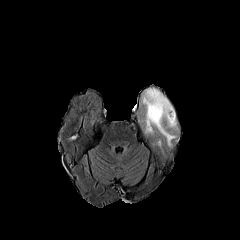
FLAIR MR image.
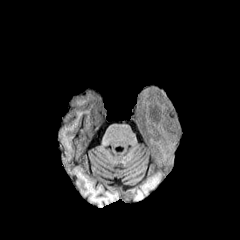
T1-weighted MR.
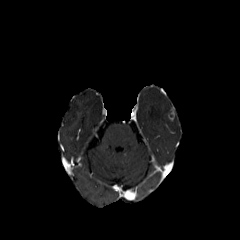
Post-contrast T1-weighted magnetic resonance.
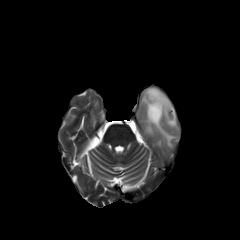
T2-weighted magnetic resonance of the same slice.
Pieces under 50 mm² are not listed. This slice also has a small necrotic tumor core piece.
peritumoral edema: bounding box [141,88,178,147]
enhancing tumor: bounding box [168,107,174,120]